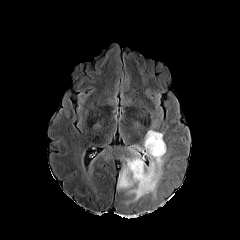
FLAIR MR image.
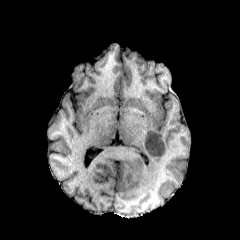
Same slice, T1-weighted magnetic resonance.
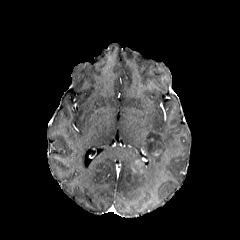
Same slice, post-contrast T1-weighted MR image.
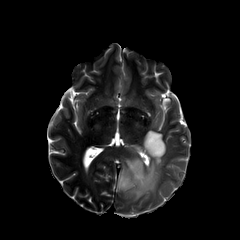
Same slice, T2-weighted magnetic resonance.
240x240
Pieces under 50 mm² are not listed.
necrotic tumor core: x1=147, y1=137, x2=161, y2=152
enhancing tumor: x1=134, y1=160, x2=143, y2=168
peritumoral edema: x1=117, y1=130, x2=166, y2=200